240x240 px, Slice 107 of 155, Axial slice
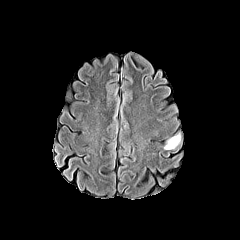
FLAIR magnetic resonance.
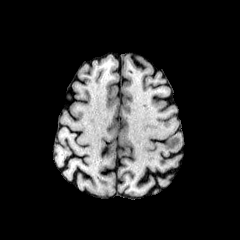
Same slice, T1-weighted MRI.
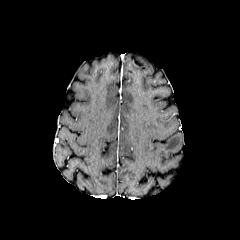
Post-contrast T1-weighted MR image of the same slice.
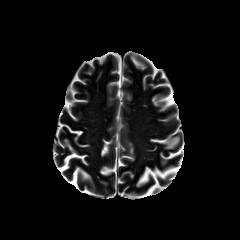
T2-weighted magnetic resonance.
peritumoral edema: bbox=[164, 135, 180, 149]